FLAIR MR image.
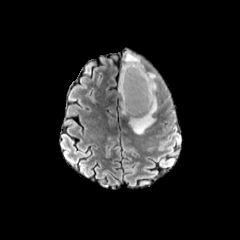
T1-weighted MR.
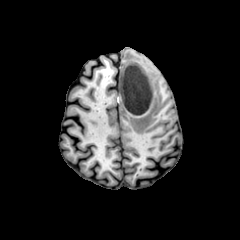
Post-contrast T1-weighted MR image.
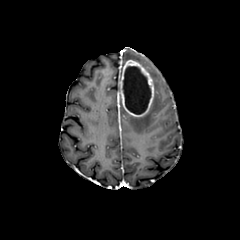
T2-weighted MRI.
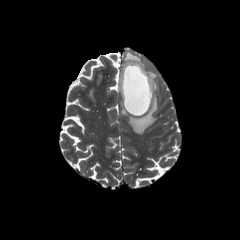
Head; Axial plane
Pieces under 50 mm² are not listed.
The 3 largest peritumoral edema regions appear at 123, 51, 144, 67; 149, 72, 158, 91; 129, 95, 157, 134. The enhancing tumor is at 120, 60, 154, 116. The necrotic tumor core is bounded by 123, 66, 151, 114.